FLAIR MR.
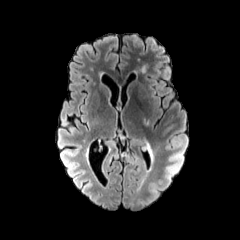
T1-weighted MR image.
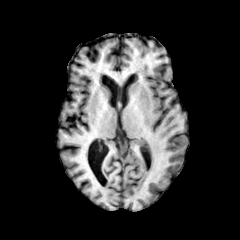
Post-contrast T1-weighted MR.
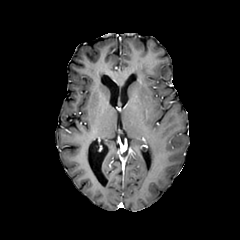
T2-weighted magnetic resonance.
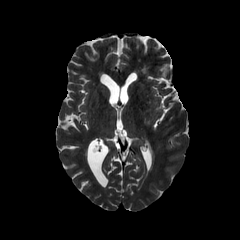
240x240 px, Axial view
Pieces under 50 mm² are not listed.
The largest peritumoral edema region lies within [144,138,154,165].